FLAIR MR.
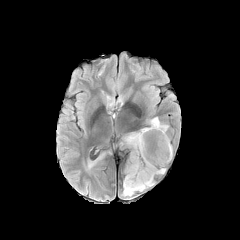
T1-weighted MR image.
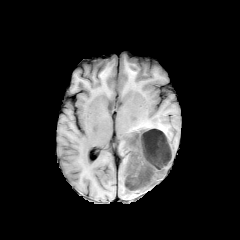
Post-contrast T1-weighted MR image.
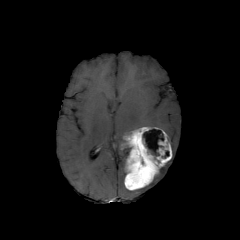
T2-weighted magnetic resonance.
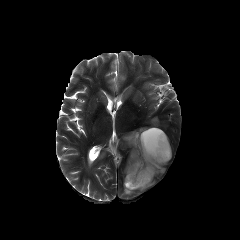
Axial view, 240x240
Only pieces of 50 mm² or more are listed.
peritumoral edema: {"x1": 150, "y1": 117, "x2": 167, "y2": 132}, {"x1": 123, "y1": 180, "x2": 154, "y2": 196} | enhancing tumor: {"x1": 122, "y1": 127, "x2": 172, "y2": 190} | necrotic tumor core: {"x1": 143, "y1": 129, "x2": 164, "y2": 155}